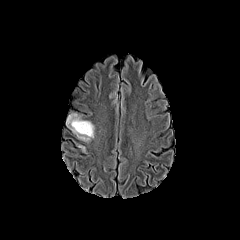
FLAIR MRI.
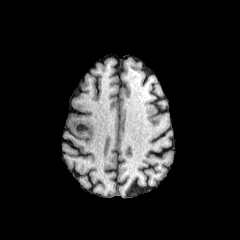
T1-weighted magnetic resonance.
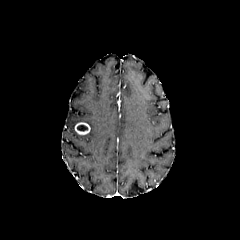
Same slice, post-contrast T1-weighted magnetic resonance.
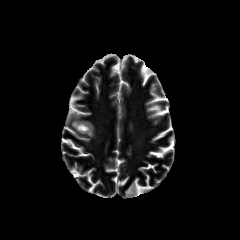
T2-weighted MR of the same slice.
enhancing_tumor:
  - [x1=74, y1=122, x2=90, y2=134]
peritumoral_edema:
  - [x1=66, y1=113, x2=94, y2=141]
necrotic_tumor_core:
  - [x1=77, y1=125, x2=87, y2=131]